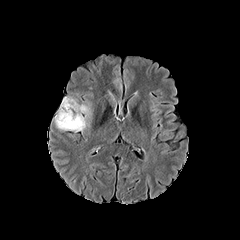
FLAIR MR image.
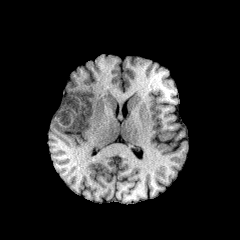
T1-weighted MR.
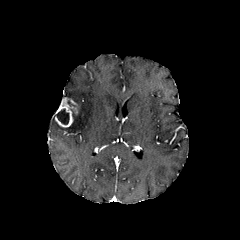
Post-contrast T1-weighted MR.
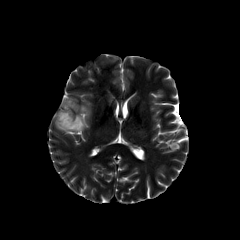
T2-weighted MR image of the same slice.
Axial slice
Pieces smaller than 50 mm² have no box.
peritumoral edema = bbox=[55, 104, 90, 131]
enhancing tumor = bbox=[55, 97, 79, 127]
necrotic tumor core = bbox=[56, 109, 69, 124]